Brain
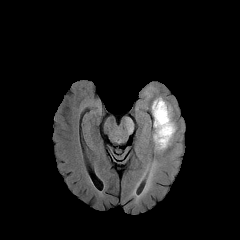
FLAIR MRI.
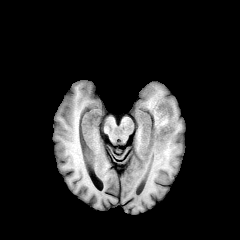
T1-weighted MRI.
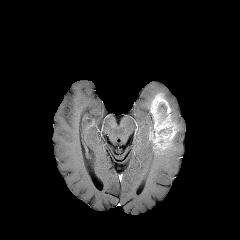
Post-contrast T1-weighted magnetic resonance.
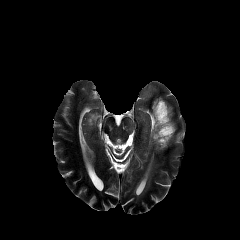
T2-weighted MR of the same slice.
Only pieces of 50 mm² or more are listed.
Findings:
* enhancing tumor: l=149, t=94, r=176, b=150
* peritumoral edema: l=144, t=102, r=153, b=139
* necrotic tumor core: l=158, t=104, r=167, b=120